Slice index 103
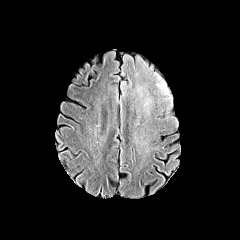
FLAIR MR image.
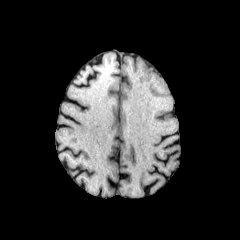
T1-weighted MR image.
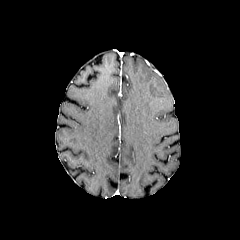
Post-contrast T1-weighted MRI.
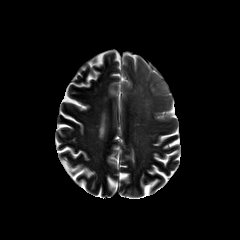
T2-weighted MR image.
peritumoral edema: bounding box (x1=155, y1=74, x2=167, y2=92)